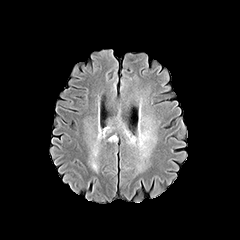
FLAIR MRI.
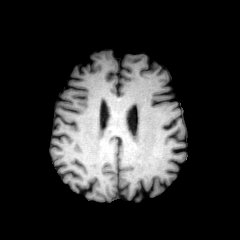
T1-weighted MRI.
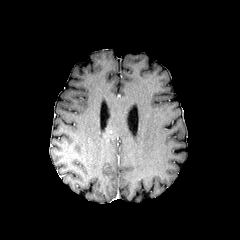
Post-contrast T1-weighted magnetic resonance.
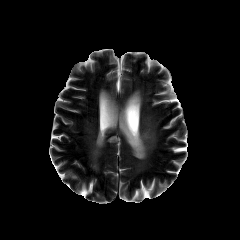
Same slice, T2-weighted MRI.
Axial view | Head
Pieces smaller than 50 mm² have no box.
The largest peritumoral edema region is located at 108,135,117,142.